Slice index 90; Head; 240x240
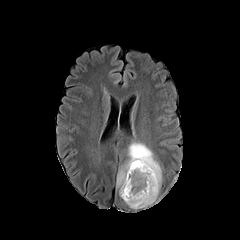
FLAIR MR image.
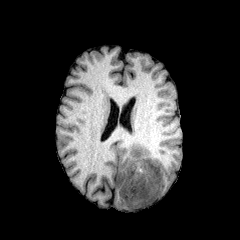
T1-weighted MR image.
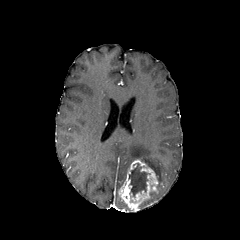
Post-contrast T1-weighted magnetic resonance of the same slice.
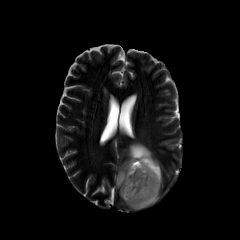
T2-weighted MR of the same slice.
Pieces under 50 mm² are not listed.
peritumoral edema — 116:142:162:189
enhancing tumor — 118:159:158:211
necrotic tumor core — 139:192:156:207, 129:163:147:196